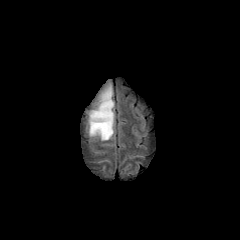
FLAIR MRI.
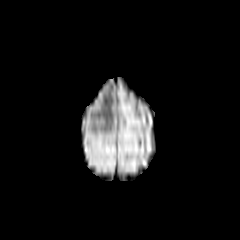
Same slice, T1-weighted MR.
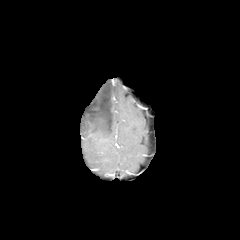
Same slice, post-contrast T1-weighted magnetic resonance.
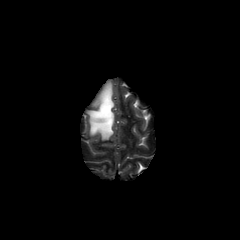
Same slice, T2-weighted MR.
Axial slice. 240x240 px.
Findings:
* peritumoral edema: (88,83,114,140)